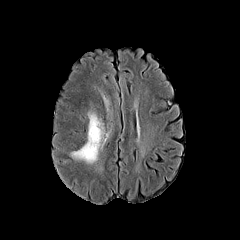
FLAIR MR image.
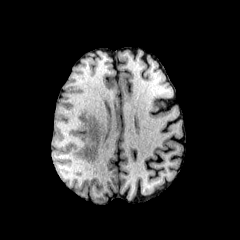
T1-weighted MR of the same slice.
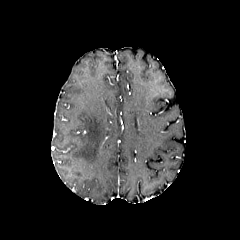
Post-contrast T1-weighted MRI.
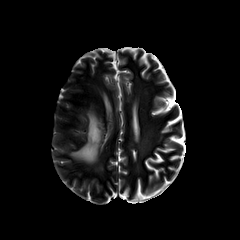
T2-weighted MR.
240x240 px; Axial slice
peritumoral edema: 72, 113, 104, 163